Image width 240 mm | Brain
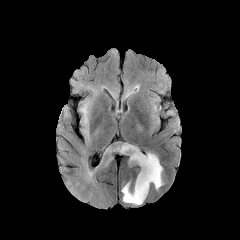
FLAIR MR.
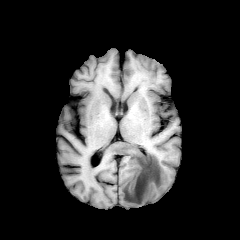
Same slice, T1-weighted MR.
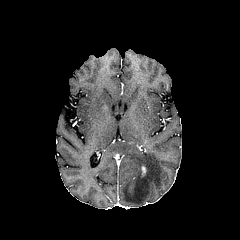
Same slice, post-contrast T1-weighted magnetic resonance.
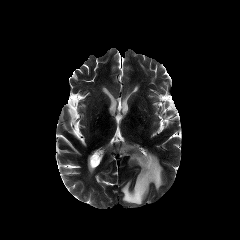
Same slice, T2-weighted magnetic resonance.
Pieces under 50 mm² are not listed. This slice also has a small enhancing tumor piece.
{
  "peritumoral_edema": [
    "bbox=[80, 103, 88, 121]",
    "bbox=[118, 144, 162, 204]"
  ]
}